Image width 240 mm, 1.00 mm slice spacing; Slice 79/155
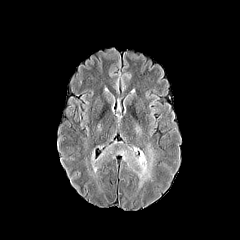
FLAIR MR.
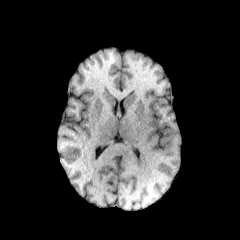
T1-weighted magnetic resonance.
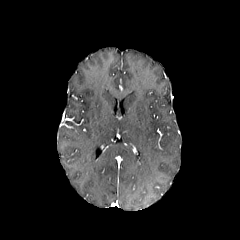
Post-contrast T1-weighted MRI.
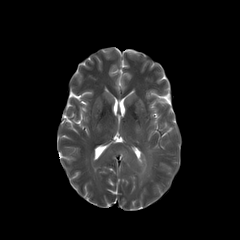
T2-weighted magnetic resonance.
peritumoral edema at (88, 141, 157, 189)